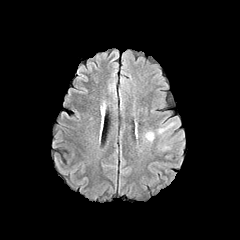
FLAIR MR.
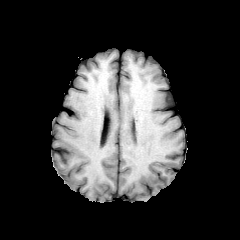
T1-weighted MR image of the same slice.
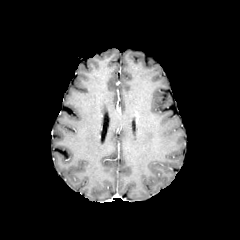
Post-contrast T1-weighted MRI.
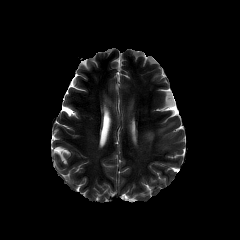
T2-weighted MR of the same slice.
Image size 240x240 | Axial slice | Brain
* peritumoral edema: rect(158, 123, 173, 133); rect(145, 132, 154, 141); rect(159, 145, 171, 150)